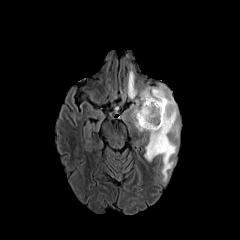
FLAIR MRI.
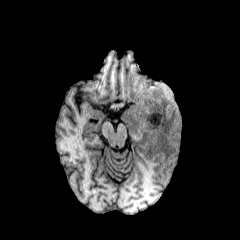
T1-weighted MR image of the same slice.
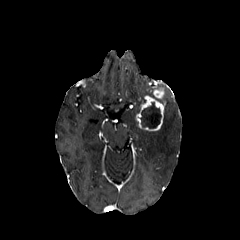
Post-contrast T1-weighted magnetic resonance of the same slice.
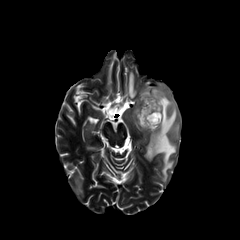
T2-weighted MR.
Axial view, Head, 240x240 px
necrotic tumor core = l=140, t=102, r=160, b=128
peritumoral edema = l=131, t=100, r=144, b=131; l=144, t=84, r=179, b=181; l=127, t=70, r=137, b=98; l=140, t=86, r=153, b=102
enhancing tumor = l=136, t=87, r=165, b=131